FLAIR MRI.
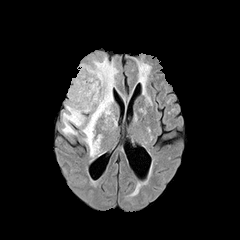
T1-weighted MR.
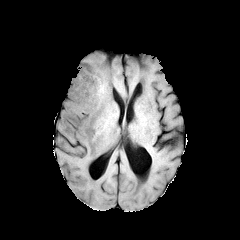
Post-contrast T1-weighted MRI.
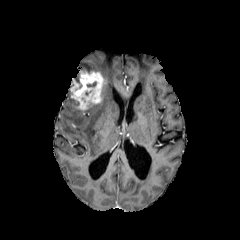
T2-weighted MR.
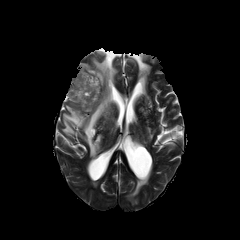
240x240 px
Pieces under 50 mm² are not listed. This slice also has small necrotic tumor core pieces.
enhancing tumor: 70:69:105:110
peritumoral edema: 62:56:117:157